FLAIR magnetic resonance.
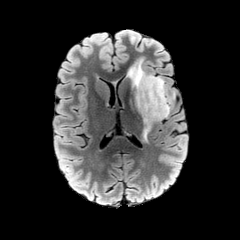
T1-weighted magnetic resonance.
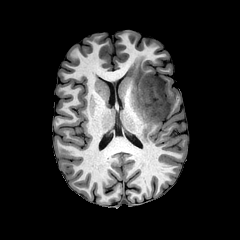
Post-contrast T1-weighted magnetic resonance.
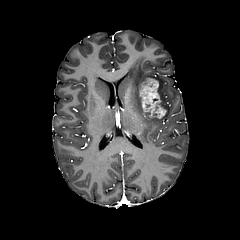
T2-weighted MRI.
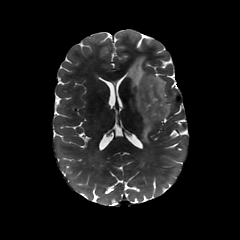
Axial plane
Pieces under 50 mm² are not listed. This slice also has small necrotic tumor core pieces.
Annotated regions:
* peritumoral edema: bbox(127, 59, 171, 141)
* enhancing tumor: bbox(139, 78, 166, 118)